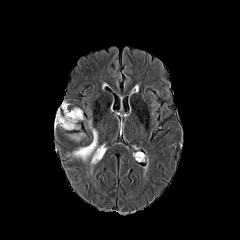
FLAIR magnetic resonance.
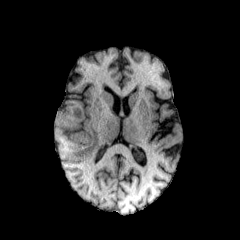
T1-weighted magnetic resonance.
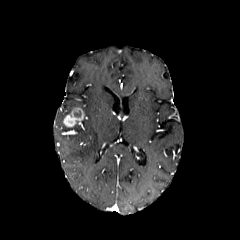
Same slice, post-contrast T1-weighted magnetic resonance.
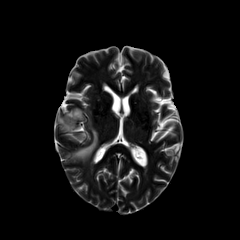
T2-weighted MRI.
Brain
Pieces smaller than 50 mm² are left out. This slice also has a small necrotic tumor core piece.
enhancing_tumor:
  - [x1=63, y1=107, x2=83, y2=127]
peritumoral_edema:
  - [x1=55, y1=102, x2=78, y2=129]
  - [x1=72, y1=120, x2=97, y2=161]
  - [x1=72, y1=133, x2=85, y2=140]